Axial view
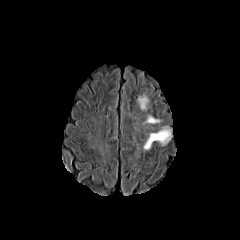
FLAIR magnetic resonance.
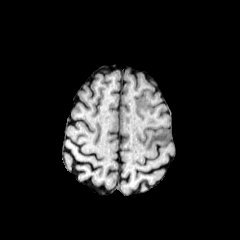
T1-weighted MRI.
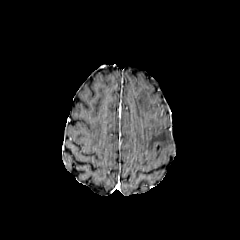
Post-contrast T1-weighted magnetic resonance.
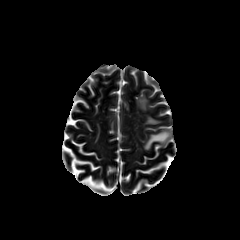
T2-weighted MRI.
3 peritumoral edema regions are located at (x1=138, y1=95, x2=148, y2=109), (x1=144, y1=126, x2=171, y2=149), (x1=146, y1=116, x2=159, y2=123).